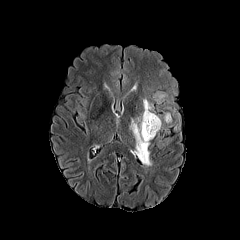
FLAIR magnetic resonance.
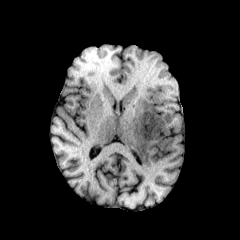
Same slice, T1-weighted magnetic resonance.
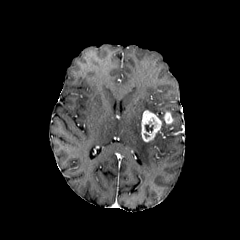
Post-contrast T1-weighted magnetic resonance.
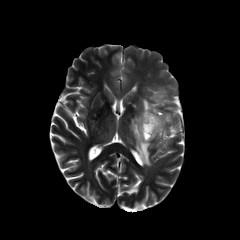
T2-weighted MR image.
Axial plane | Head
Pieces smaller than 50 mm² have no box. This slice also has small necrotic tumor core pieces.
enhancing tumor — left=163, top=112, right=172, bottom=124; left=141, top=110, right=161, bottom=142
peritumoral edema — left=130, top=116, right=151, bottom=166; left=143, top=99, right=153, bottom=112; left=155, top=93, right=165, bottom=102